Slice index 87, Image width 240 mm
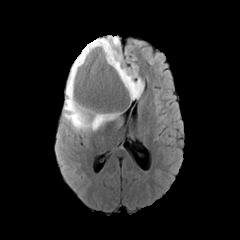
FLAIR MR.
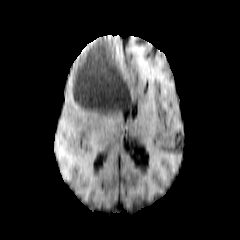
T1-weighted MR.
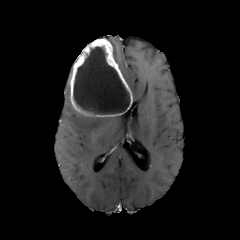
Post-contrast T1-weighted MR image.
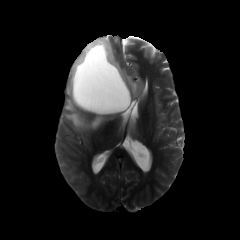
T2-weighted MRI of the same slice.
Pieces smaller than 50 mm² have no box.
The enhancing tumor is at {"x1": 68, "y1": 37, "x2": 133, "y2": 117}. The necrotic tumor core is bounded by {"x1": 73, "y1": 47, "x2": 129, "y2": 113}. The 2 largest peritumoral edema regions appear at {"x1": 105, "y1": 35, "x2": 143, "y2": 99}, {"x1": 63, "y1": 81, "x2": 117, "y2": 131}.